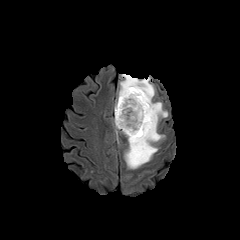
FLAIR magnetic resonance.
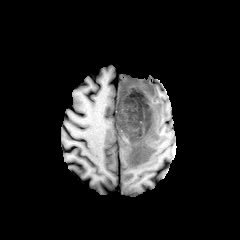
T1-weighted MR image.
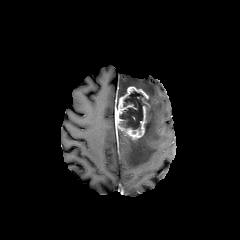
Same slice, post-contrast T1-weighted MRI.
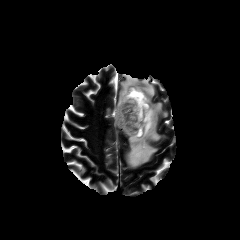
T2-weighted magnetic resonance of the same slice.
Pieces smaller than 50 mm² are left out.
2 peritumoral edema regions appear at (119,74,168,169), (114,99,119,131). The largest enhancing tumor region appears at (115,86,149,140). The necrotic tumor core appears at (119,91,144,129).